Axial plane, Slice 86 of 155, Brain
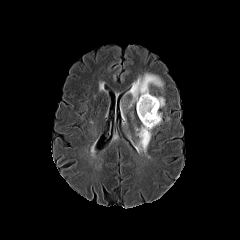
FLAIR MR image.
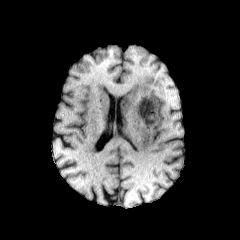
T1-weighted MRI.
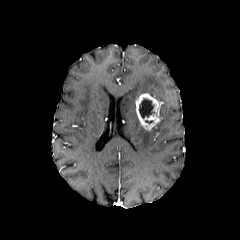
Same slice, post-contrast T1-weighted MR image.
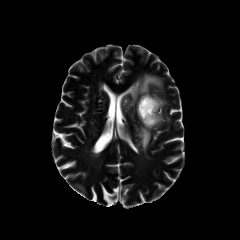
T2-weighted MRI.
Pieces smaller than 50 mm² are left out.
necrotic tumor core: [x1=139, y1=99, x2=154, y2=118]
enhancing tumor: [x1=135, y1=93, x2=163, y2=130]
peritumoral edema: [x1=135, y1=126, x2=151, y2=153], [x1=126, y1=73, x2=163, y2=107]